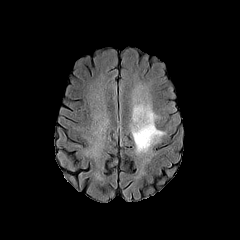
FLAIR MR.
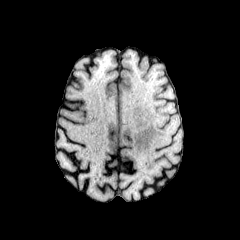
T1-weighted MRI.
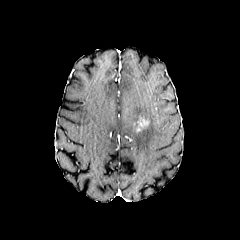
Post-contrast T1-weighted MR image of the same slice.
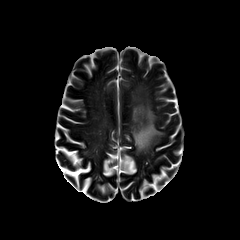
T2-weighted MR of the same slice.
Head | Image size 240x240
The enhancing tumor appears at left=136, top=117, right=149, bottom=131. The peritumoral edema is at left=131, top=96, right=165, bottom=153.